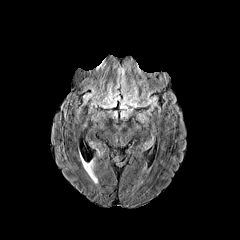
FLAIR MR image.
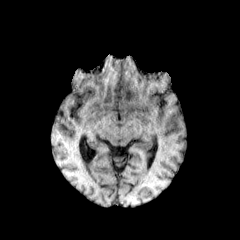
T1-weighted magnetic resonance.
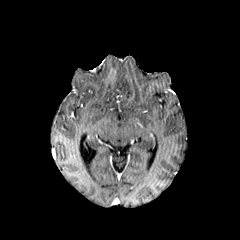
Post-contrast T1-weighted magnetic resonance of the same slice.
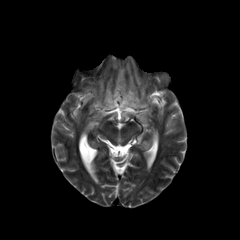
Same slice, T2-weighted magnetic resonance.
240x240 px, Axial slice
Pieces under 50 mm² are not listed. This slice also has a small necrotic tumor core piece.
enhancing tumor: l=123, t=87, r=134, b=100 | peritumoral edema: l=98, t=67, r=146, b=108